FLAIR MR image.
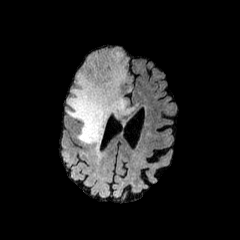
T1-weighted magnetic resonance.
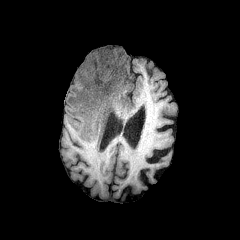
Post-contrast T1-weighted MR.
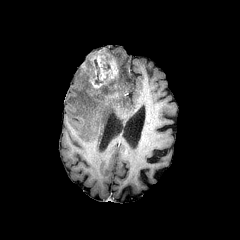
T2-weighted magnetic resonance.
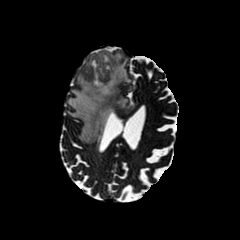
Brain
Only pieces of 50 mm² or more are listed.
peritumoral edema: bounding box [67, 48, 131, 147]
enhancing tumor: bounding box [82, 48, 119, 100]
necrotic tumor core: bounding box [94, 59, 102, 84]